Axial plane; Image size 240x240
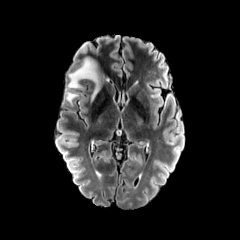
FLAIR MR.
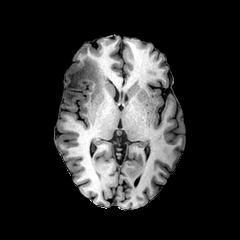
Same slice, T1-weighted MR image.
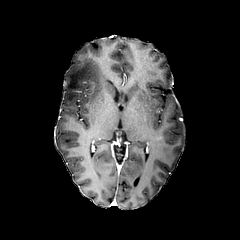
Post-contrast T1-weighted MR image.
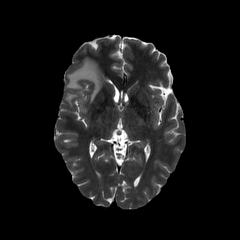
T2-weighted magnetic resonance.
2 peritumoral edema regions are bounded by 67,58,100,100; 66,92,77,104.